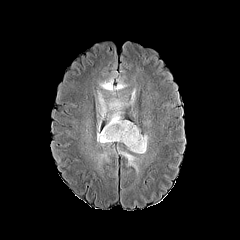
FLAIR magnetic resonance.
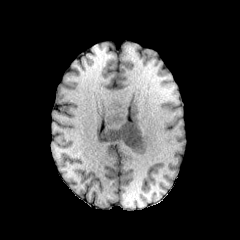
T1-weighted MRI.
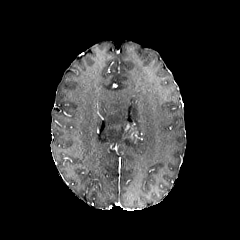
Same slice, post-contrast T1-weighted MR image.
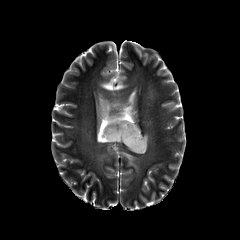
T2-weighted MR image of the same slice.
Brain. 240x240.
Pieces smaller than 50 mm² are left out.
{"peritumoral_edema": ["(97,91,148,154)", "(122,152,137,168)", "(99,78,115,95)"], "enhancing_tumor": ["(125,124,141,141)"]}